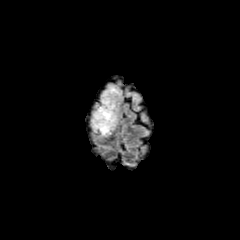
FLAIR MRI.
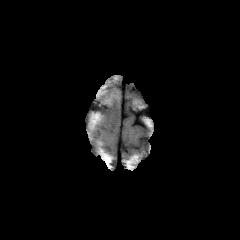
T1-weighted magnetic resonance of the same slice.
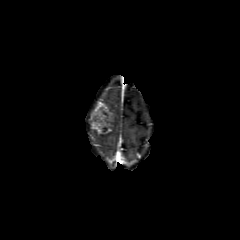
Same slice, post-contrast T1-weighted MRI.
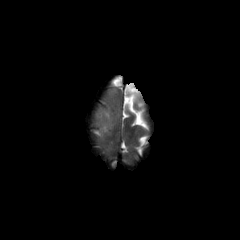
T2-weighted MR.
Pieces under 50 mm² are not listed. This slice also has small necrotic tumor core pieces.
peritumoral_edema:
  - (left=102, top=89, right=117, bottom=130)
  - (left=93, top=131, right=111, bottom=137)
enhancing_tumor:
  - (left=91, top=99, right=114, bottom=134)